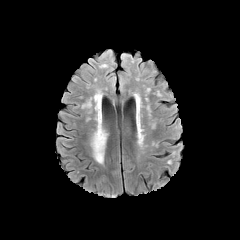
FLAIR MR image.
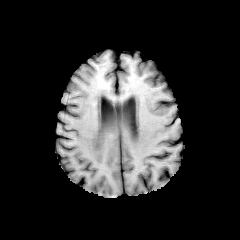
Same slice, T1-weighted MR.
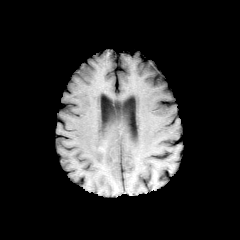
Post-contrast T1-weighted MR.
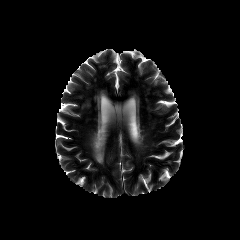
T2-weighted MR of the same slice.
Axial plane, Head
The peritumoral edema lies within 91:120:106:163.